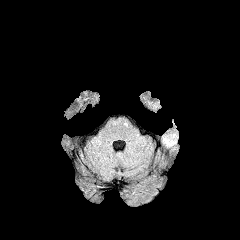
FLAIR MR image.
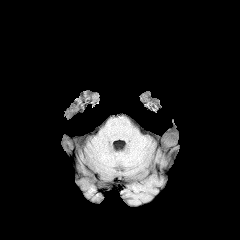
T1-weighted magnetic resonance.
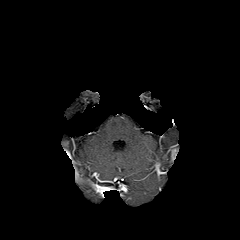
Same slice, post-contrast T1-weighted magnetic resonance.
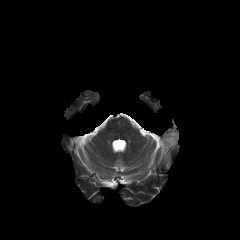
T2-weighted MR image.
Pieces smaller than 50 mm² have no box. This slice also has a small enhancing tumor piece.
Annotated regions:
- peritumoral edema: bbox=[163, 132, 178, 146]